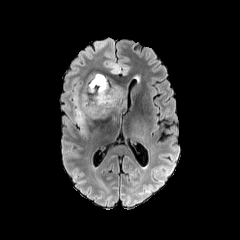
FLAIR MRI.
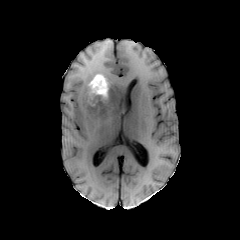
T1-weighted MR.
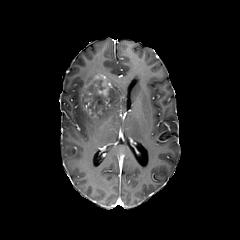
Same slice, post-contrast T1-weighted MR.
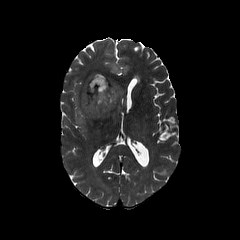
T2-weighted MR image of the same slice.
Brain. Image size 240x240.
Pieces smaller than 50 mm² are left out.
The largest necrotic tumor core region is at [x1=90, y1=80, x2=101, y2=95]. The 2 largest peritumoral edema regions appear at [x1=73, y1=75, x2=126, y2=133], [x1=110, y1=63, x2=119, y2=73]. The enhancing tumor is bounded by [x1=84, y1=73, x2=110, y2=101].